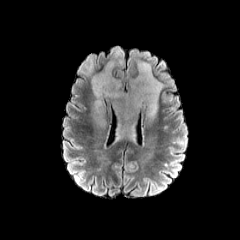
FLAIR MRI.
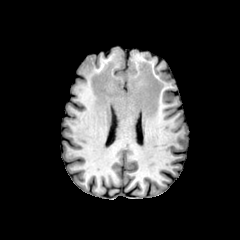
T1-weighted MR.
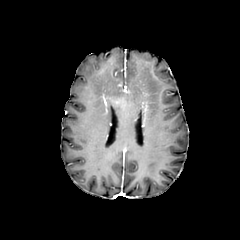
Post-contrast T1-weighted MR image.
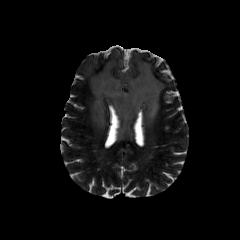
Same slice, T2-weighted MR image.
Head, Image size 240x240, Axial slice
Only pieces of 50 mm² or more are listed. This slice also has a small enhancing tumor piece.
peritumoral_edema:
  - [x1=92, y1=61, x2=164, y2=138]